FLAIR MR image.
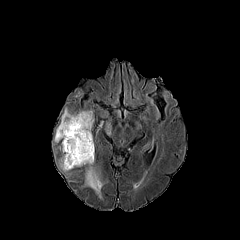
T1-weighted MR.
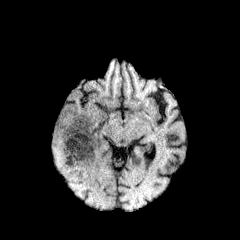
Post-contrast T1-weighted MR.
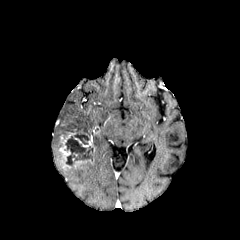
T2-weighted MRI.
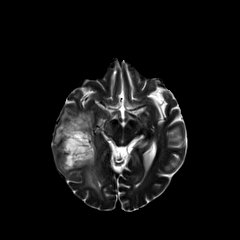
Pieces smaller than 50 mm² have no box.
{
  "peritumoral_edema": [
    "x1=54 y1=108 x2=93 y2=142",
    "x1=59 y1=156 x2=73 y2=171",
    "x1=85 y1=153 x2=103 y2=198"
  ],
  "enhancing_tumor": [
    "x1=60 y1=128 x2=83 y2=168",
    "x1=74 y1=135 x2=94 y2=152",
    "x1=73 y1=159 x2=92 y2=167"
  ],
  "necrotic_tumor_core": [
    "x1=65 y1=133 x2=93 y2=166"
  ]
}